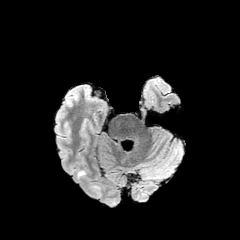
FLAIR MRI.
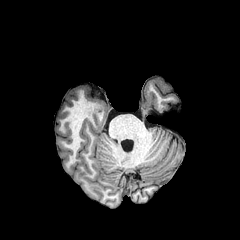
T1-weighted MR.
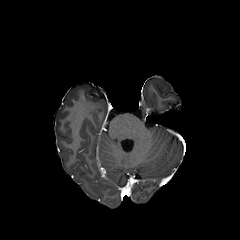
Post-contrast T1-weighted MR image.
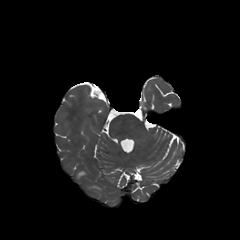
T2-weighted MR.
peritumoral edema — left=77, top=170, right=86, bottom=179; left=89, top=185, right=101, bottom=191